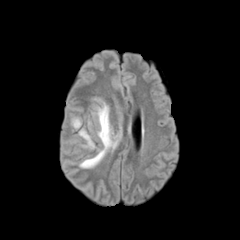
FLAIR MRI.
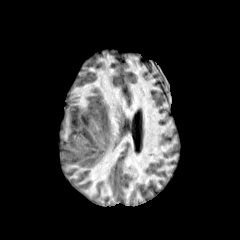
T1-weighted magnetic resonance.
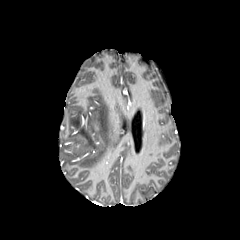
Post-contrast T1-weighted MR of the same slice.
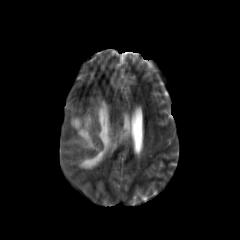
T2-weighted magnetic resonance of the same slice.
Head
* peritumoral edema: bbox=[79, 129, 95, 148]; bbox=[72, 118, 80, 128]; bbox=[79, 102, 116, 168]